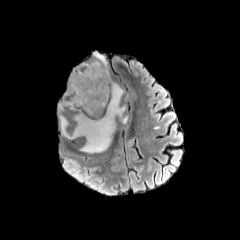
FLAIR MRI.
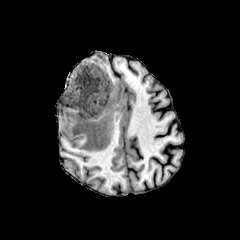
T1-weighted magnetic resonance.
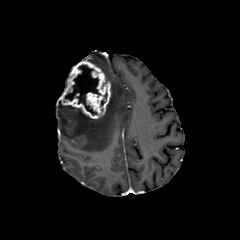
Post-contrast T1-weighted MR image.
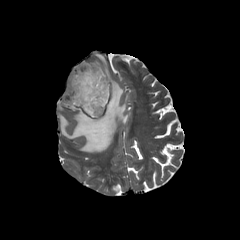
T2-weighted MR image.
240x240 | Axial slice
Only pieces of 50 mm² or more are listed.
The largest enhancing tumor region lies within (61, 61, 110, 118). The 2 largest peritumoral edema regions are located at (92, 53, 109, 80), (59, 82, 127, 153). The largest necrotic tumor core region lies within (64, 65, 100, 114).